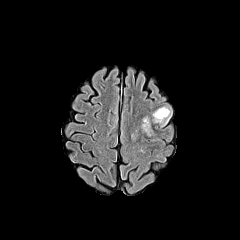
FLAIR MR image.
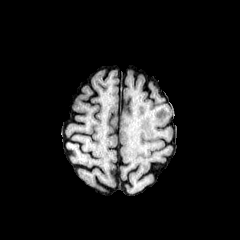
T1-weighted MR of the same slice.
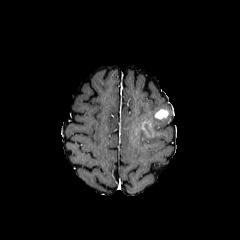
Post-contrast T1-weighted magnetic resonance of the same slice.
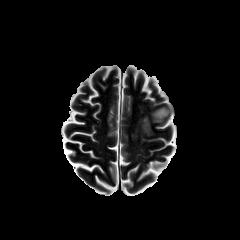
Same slice, T2-weighted magnetic resonance.
Head; 240x240
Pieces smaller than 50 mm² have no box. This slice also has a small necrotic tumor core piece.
{
  "peritumoral_edema": [
    "left=152, top=105, right=172, bottom=126"
  ],
  "enhancing_tumor": [
    "left=141, top=120, right=150, bottom=132",
    "left=154, top=109, right=168, bottom=119"
  ]
}